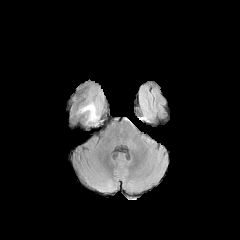
FLAIR MRI.
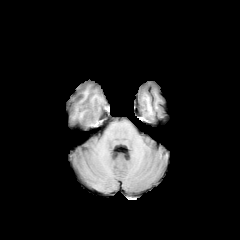
T1-weighted MR.
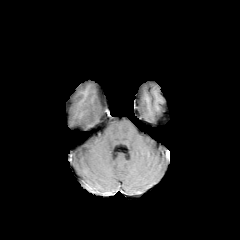
Post-contrast T1-weighted MRI of the same slice.
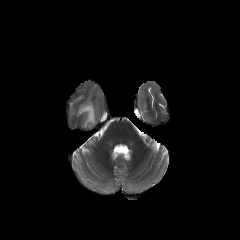
T2-weighted MRI.
Image size 240x240 | Brain | Axial slice
peritumoral edema — [x1=77, y1=100, x2=100, y2=124]